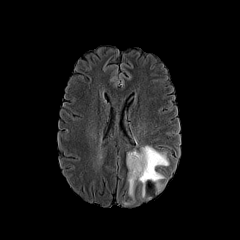
FLAIR MR image.
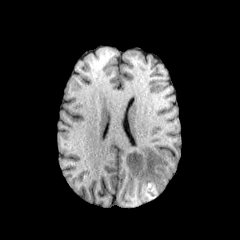
T1-weighted MR of the same slice.
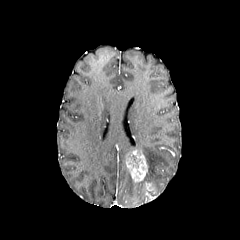
Post-contrast T1-weighted MR.
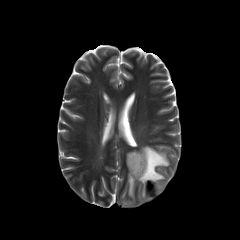
Same slice, T2-weighted MR image.
240x240
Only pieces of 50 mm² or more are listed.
The enhancing tumor is at (left=126, top=151, right=148, bottom=182). The 2 largest peritumoral edema regions appear at (left=128, top=172, right=136, bottom=198), (left=137, top=145, right=168, bottom=197).